Head. Slice 55 of 155.
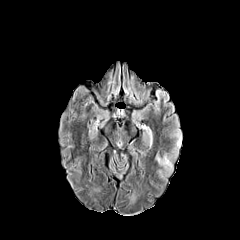
FLAIR MR.
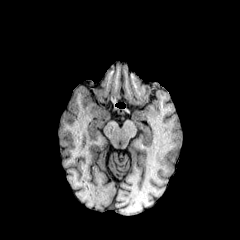
T1-weighted MRI.
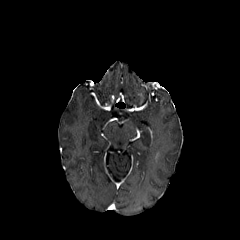
Post-contrast T1-weighted MRI.
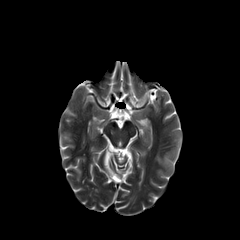
T2-weighted MRI.
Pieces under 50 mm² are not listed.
{
  "peritumoral_edema": [
    "l=157, t=156, r=172, b=171"
  ]
}